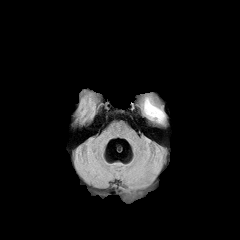
FLAIR MR image.
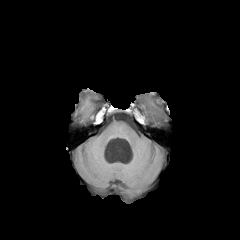
T1-weighted MR.
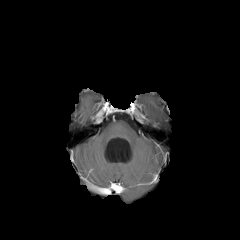
Same slice, post-contrast T1-weighted MR image.
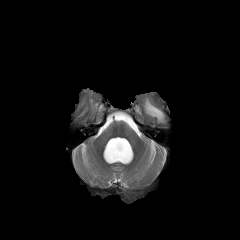
T2-weighted MRI.
Axial plane, Head
The peritumoral edema lies within l=144, t=98, r=164, b=122.